Slice index 69 | Axial slice | Image size 240x240
FLAIR MRI.
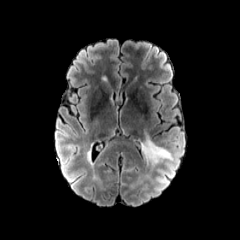
T1-weighted MRI.
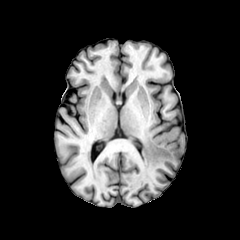
Post-contrast T1-weighted MRI.
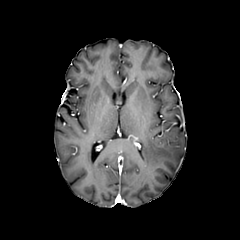
T2-weighted MR.
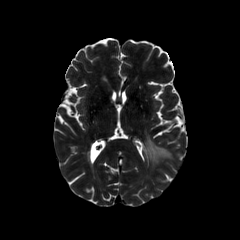
peritumoral edema: x1=141, y1=136, x2=173, y2=164